Slice 41 of 155, Head
FLAIR MR image.
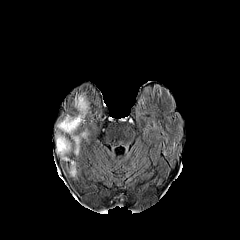
T1-weighted MR.
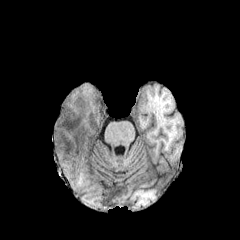
Post-contrast T1-weighted MRI.
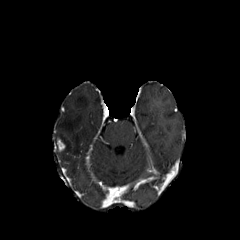
T2-weighted magnetic resonance.
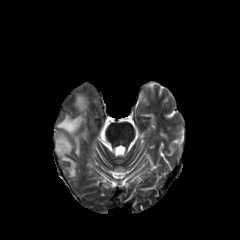
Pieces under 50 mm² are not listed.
The enhancing tumor appears at (left=57, top=138, right=65, bottom=151). The 4 largest peritumoral edema regions are bounded by (left=56, top=134, right=70, bottom=160), (left=58, top=94, right=88, bottom=133), (left=73, top=136, right=78, bottom=154), (left=69, top=161, right=75, bottom=176).